Image width 240 mm; Brain; Image size 240x240
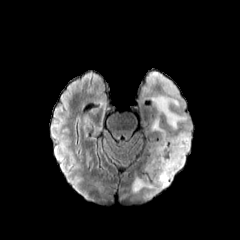
FLAIR MRI.
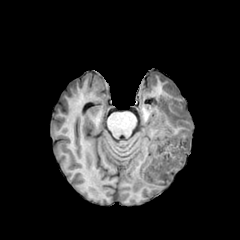
Same slice, T1-weighted MR.
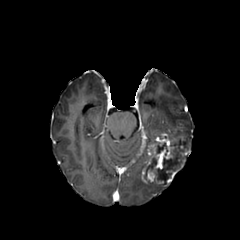
Same slice, post-contrast T1-weighted MR.
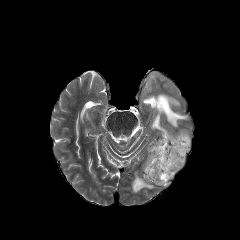
T2-weighted MRI of the same slice.
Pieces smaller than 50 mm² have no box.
Findings:
- enhancing tumor: bbox(141, 132, 189, 186)
- peritumoral edema: bbox(132, 174, 166, 193); bbox(155, 95, 187, 129); bbox(151, 117, 190, 149)
- necrotic tumor core: bbox(144, 139, 185, 184); bbox(155, 142, 168, 155)